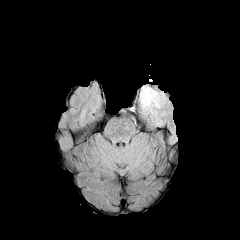
FLAIR MR image.
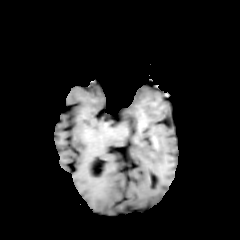
T1-weighted MR image.
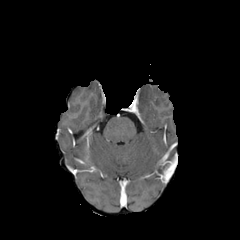
Post-contrast T1-weighted MR image.
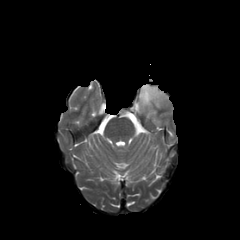
T2-weighted MR.
{"peritumoral_edema": ["139, 84, 166, 116"]}